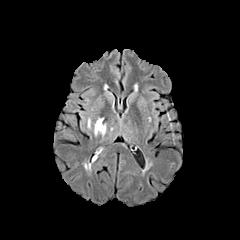
FLAIR magnetic resonance.
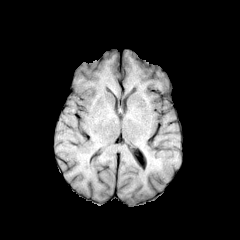
T1-weighted MR image.
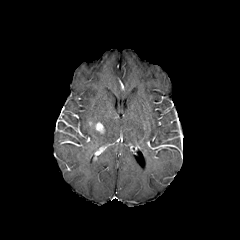
Same slice, post-contrast T1-weighted MRI.
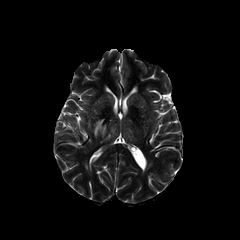
Same slice, T2-weighted MR.
Axial plane, Image size 240x240, Head
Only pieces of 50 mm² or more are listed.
The largest peritumoral edema region appears at 93, 118, 103, 136. The largest enhancing tumor region is at 95, 122, 104, 133.